FLAIR MR.
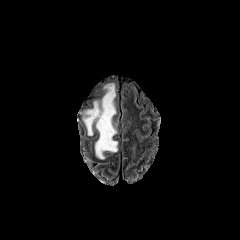
T1-weighted MR image.
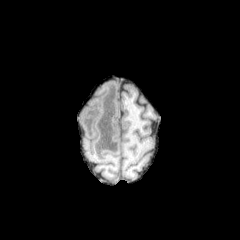
Post-contrast T1-weighted MR.
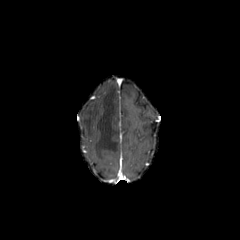
T2-weighted MRI.
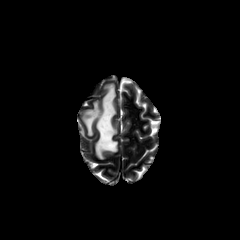
240x240, Brain
peritumoral edema: rect(82, 83, 117, 159)